FLAIR MR image.
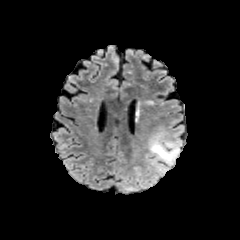
T1-weighted magnetic resonance.
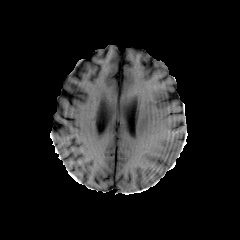
Post-contrast T1-weighted MR image.
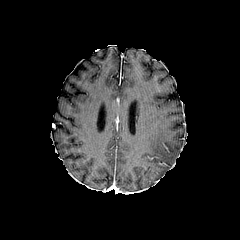
T2-weighted MR.
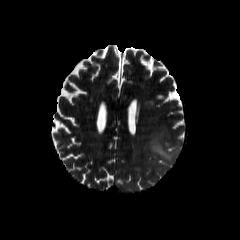
Head
- peritumoral edema: left=149, top=133, right=179, bottom=170